240x240 px | Head
FLAIR MR.
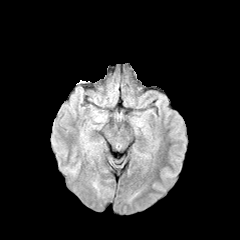
T1-weighted MR.
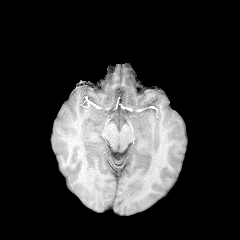
Post-contrast T1-weighted MR.
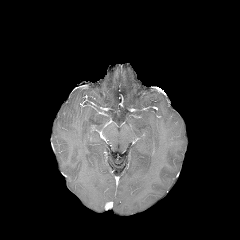
T2-weighted magnetic resonance.
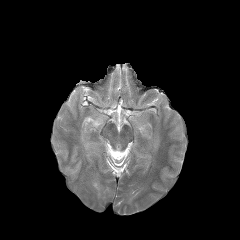
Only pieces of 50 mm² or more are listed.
{"peritumoral_edema": ["box=[84, 141, 93, 151]", "box=[92, 181, 99, 194]"]}